FLAIR MR.
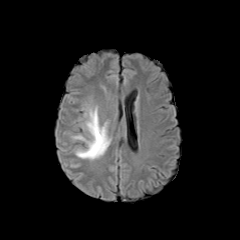
T1-weighted MR image.
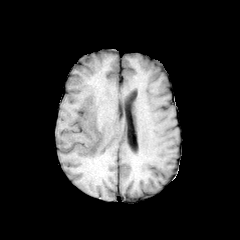
Post-contrast T1-weighted magnetic resonance.
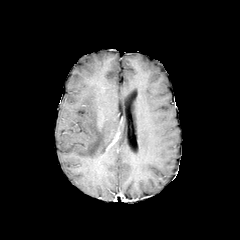
T2-weighted magnetic resonance.
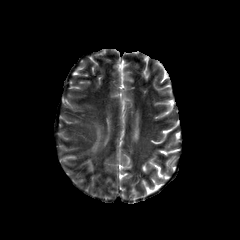
Head | 240x240 px
peritumoral edema: bounding box 73 107 110 159